FLAIR MR image.
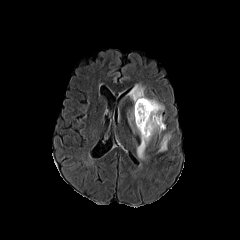
T1-weighted magnetic resonance.
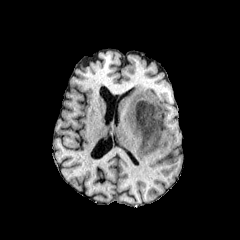
Post-contrast T1-weighted MR.
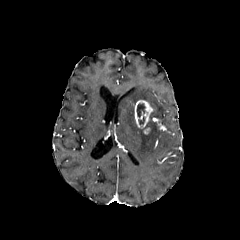
T2-weighted MR image.
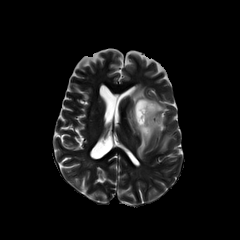
Brain; Axial view
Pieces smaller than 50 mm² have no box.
necrotic tumor core: <box>137,104,145,117</box> | enhancing tumor: <box>134,100,154,128</box> | peritumoral edema: <box>128,84,164,159</box>, <box>159,134,170,151</box>